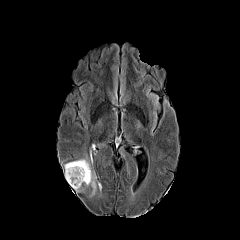
FLAIR magnetic resonance.
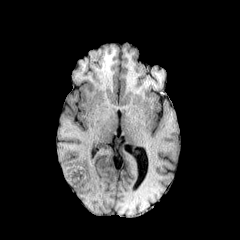
Same slice, T1-weighted MR.
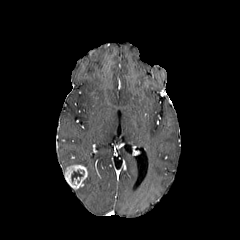
Post-contrast T1-weighted MR image of the same slice.
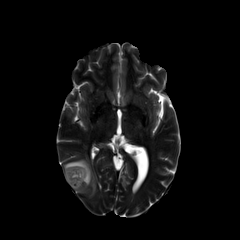
T2-weighted MRI.
Head. Axial slice.
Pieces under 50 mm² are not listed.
necrotic tumor core = <bbox>71, 170, 84, 182</bbox>
enhancing tumor = <bbox>65, 164, 87, 189</bbox>
peritumoral edema = <bbox>64, 157, 101, 196</bbox>